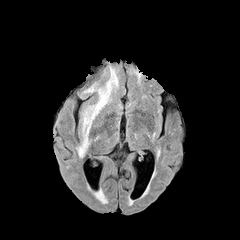
FLAIR MRI.
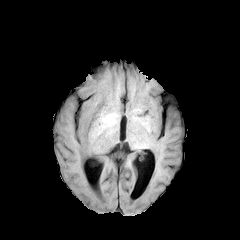
T1-weighted MR of the same slice.
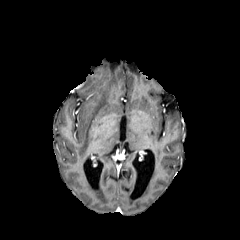
Post-contrast T1-weighted MRI.
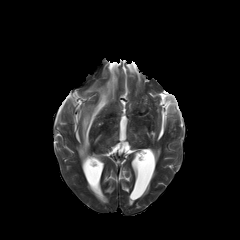
T2-weighted MRI of the same slice.
240x240
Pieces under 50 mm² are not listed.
{"peritumoral_edema": ["78:66:118:156", "56:103:63:130"]}